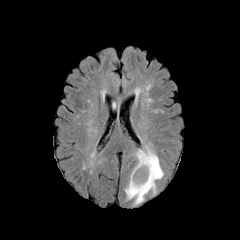
FLAIR MR.
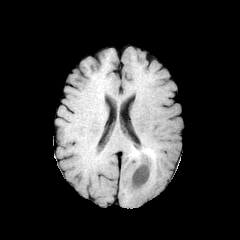
T1-weighted MR image.
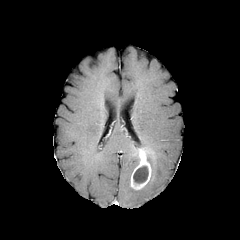
Same slice, post-contrast T1-weighted MR image.
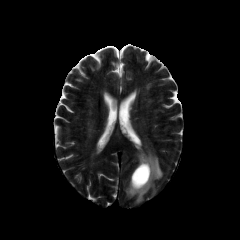
Same slice, T2-weighted MR image.
Brain. 240x240 px.
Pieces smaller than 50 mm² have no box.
necrotic tumor core: [133,166,148,183]
peritumoral edema: [125,146,163,205]
enhancing tumor: [130,150,151,190]